Brain. Axial view.
FLAIR MR image.
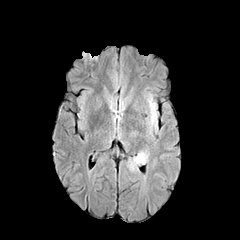
T1-weighted MR.
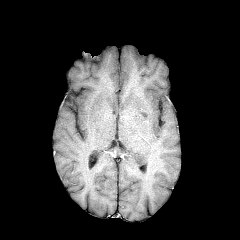
Post-contrast T1-weighted MR.
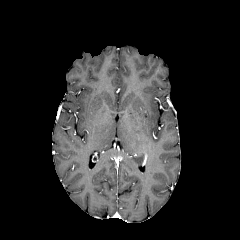
T2-weighted MR.
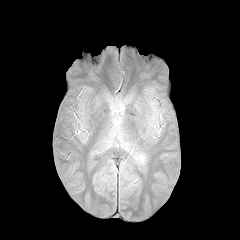
peritumoral edema: bounding box region(134, 151, 145, 163); region(148, 100, 156, 123)